FLAIR MRI.
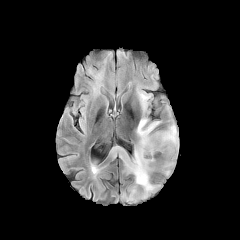
T1-weighted magnetic resonance.
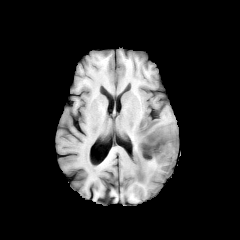
Post-contrast T1-weighted MR.
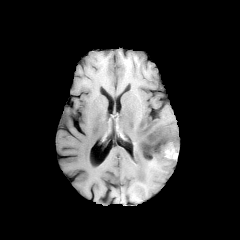
T2-weighted MR.
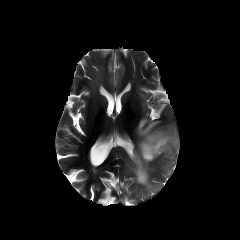
Image size 240x240, Head, Axial plane
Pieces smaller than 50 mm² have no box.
necrotic tumor core: bounding box rect(143, 137, 175, 158)
peritumoral edema: bounding box rect(123, 117, 178, 192); rect(164, 159, 174, 175)
enhancing tumor: bounding box rect(142, 135, 177, 159)